Slice index 124. Image covers 240 mm x 240 mm. Brain.
FLAIR MR image.
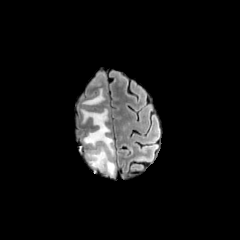
T1-weighted MRI.
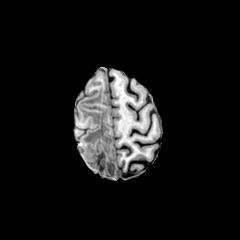
Post-contrast T1-weighted MR image.
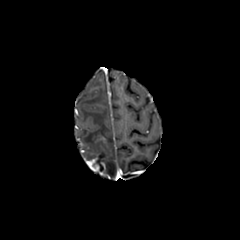
T2-weighted MR image.
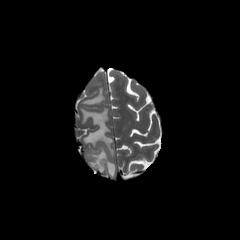
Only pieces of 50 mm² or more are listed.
enhancing_tumor:
  - box(85, 152, 106, 173)
  - box(95, 135, 106, 143)
necrotic_tumor_core:
  - box(96, 153, 104, 170)
peritumoral_edema:
  - box(79, 108, 115, 176)
  - box(83, 88, 104, 105)